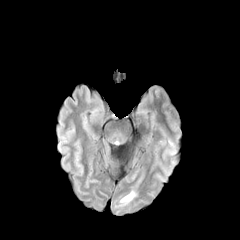
FLAIR MR.
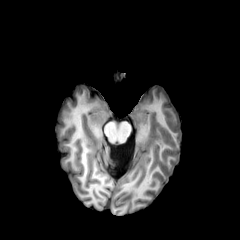
T1-weighted MR.
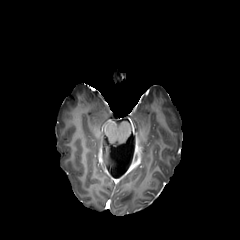
Same slice, post-contrast T1-weighted MR image.
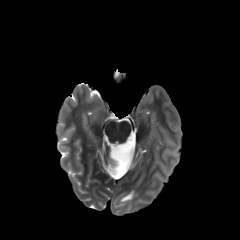
Same slice, T2-weighted MR.
Brain
• peritumoral edema: x1=120 y1=191 x2=134 y2=205